FLAIR MRI.
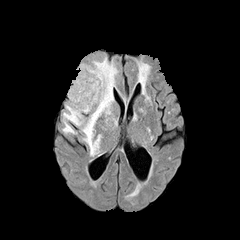
T1-weighted MRI.
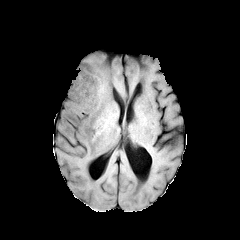
Post-contrast T1-weighted magnetic resonance.
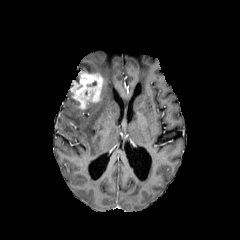
T2-weighted MR.
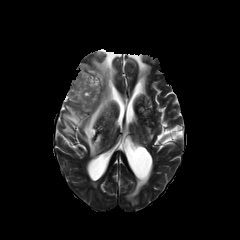
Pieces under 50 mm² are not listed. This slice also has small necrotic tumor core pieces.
Findings:
- enhancing tumor: <bbox>70, 70, 104, 109</bbox>
- peritumoral edema: <bbox>62, 57, 117, 156</bbox>